Slice index 99, Brain
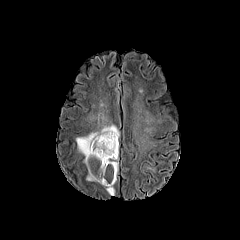
FLAIR magnetic resonance.
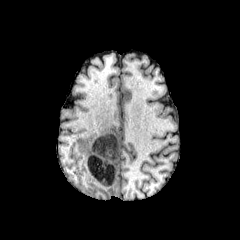
Same slice, T1-weighted MR.
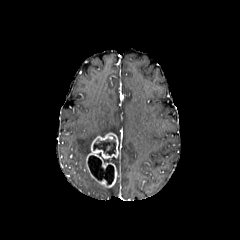
Same slice, post-contrast T1-weighted magnetic resonance.
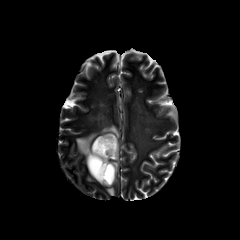
T2-weighted MRI.
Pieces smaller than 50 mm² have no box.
The 2 largest peritumoral edema regions appear at 106 186 114 195, 76 124 119 162. The largest enhancing tumor region is bounded by 85 133 118 187. The 2 largest necrotic tumor core regions appear at 88 156 113 184, 93 140 116 155.